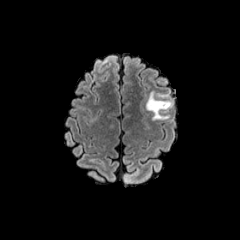
FLAIR MR.
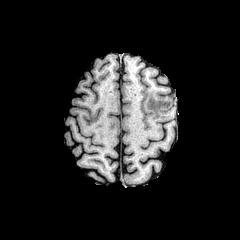
T1-weighted MRI.
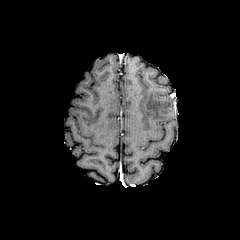
Post-contrast T1-weighted MRI.
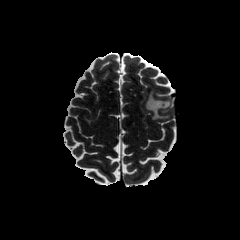
T2-weighted MRI.
Image size 240x240
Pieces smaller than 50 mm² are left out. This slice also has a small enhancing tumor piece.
peritumoral edema: 145 90 174 121